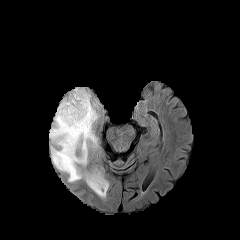
FLAIR MR.
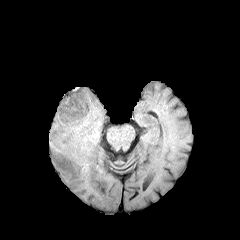
T1-weighted magnetic resonance of the same slice.
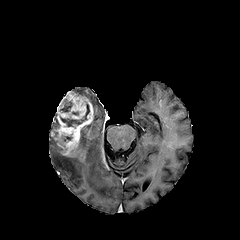
Post-contrast T1-weighted magnetic resonance.
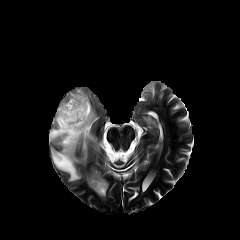
T2-weighted magnetic resonance.
Axial plane; Brain; 240x240 px
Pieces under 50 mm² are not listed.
Annotated regions:
• enhancing tumor: 51:91:93:156, 78:149:85:161
• peritumoral edema: 49:87:108:197
• necrotic tumor core: 61:104:89:126, 60:102:71:111